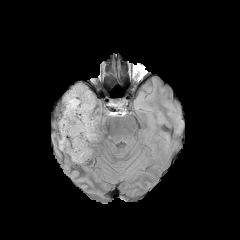
FLAIR magnetic resonance.
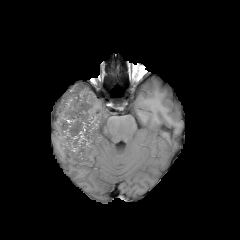
T1-weighted magnetic resonance.
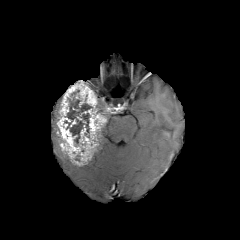
Post-contrast T1-weighted MR image of the same slice.
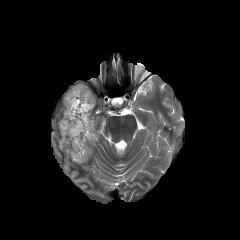
T2-weighted MR.
Image size 240x240, Axial plane
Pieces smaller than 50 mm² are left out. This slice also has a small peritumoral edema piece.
<segmentation>
  <necrotic_tumor_core>[x1=64, y1=97, x2=92, y2=144]</necrotic_tumor_core>
  <enhancing_tumor>[x1=57, y1=82, x2=106, y2=165]</enhancing_tumor>
</segmentation>